FLAIR magnetic resonance.
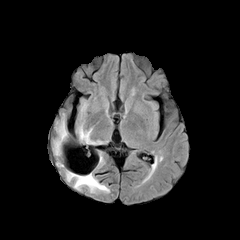
T1-weighted MR.
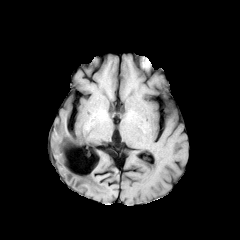
Post-contrast T1-weighted MR.
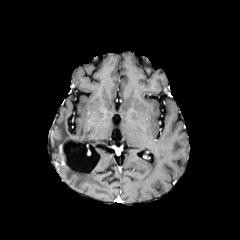
T2-weighted MR image.
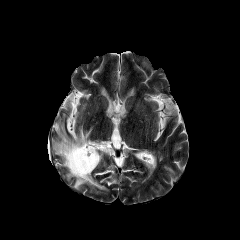
Brain.
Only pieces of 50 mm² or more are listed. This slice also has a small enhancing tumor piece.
<segmentation>
  <peritumoral_edema>(79,127,104,144), (53,120,66,155), (66,171,108,191)</peritumoral_edema>
</segmentation>